Image size 240x240 | Slice index 92 | Axial plane
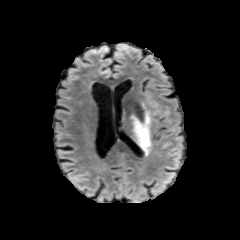
FLAIR magnetic resonance.
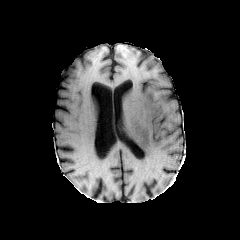
T1-weighted MR.
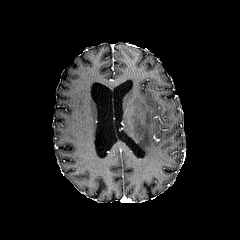
Same slice, post-contrast T1-weighted MRI.
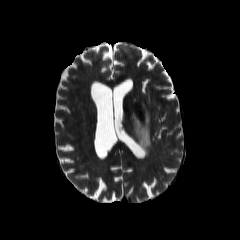
T2-weighted MRI.
Segmented structures:
- peritumoral edema: rect(122, 103, 151, 155)